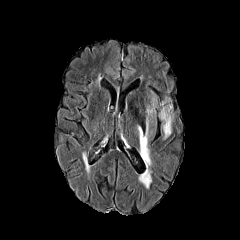
FLAIR magnetic resonance.
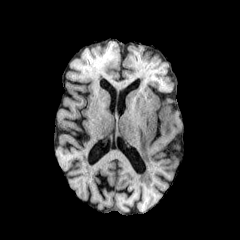
T1-weighted MR.
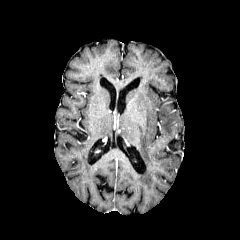
Post-contrast T1-weighted magnetic resonance.
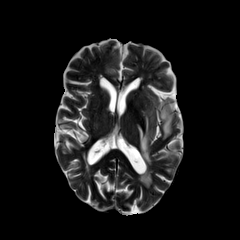
T2-weighted MR image.
240x240.
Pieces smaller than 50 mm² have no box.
The 2 largest peritumoral edema regions are located at [137,108,152,167], [160,104,173,138].